FLAIR MR.
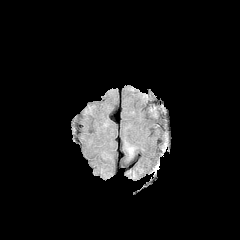
T1-weighted MR.
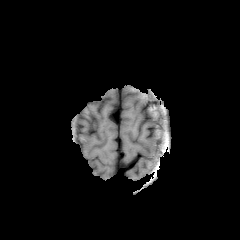
Post-contrast T1-weighted MR image.
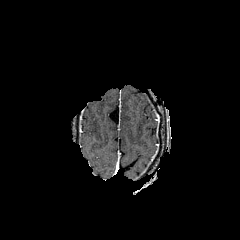
T2-weighted MRI.
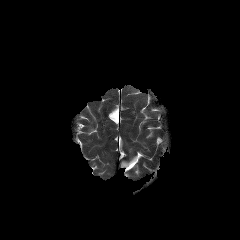
Head | Axial slice
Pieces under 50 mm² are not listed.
The largest peritumoral edema region lies within [125,142,135,158].